FLAIR MRI.
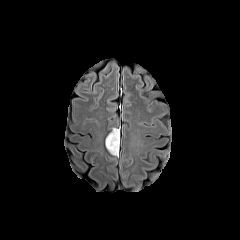
T1-weighted MR image.
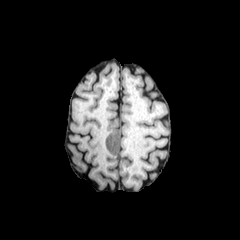
Post-contrast T1-weighted MRI.
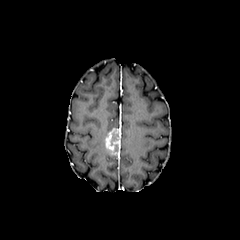
T2-weighted magnetic resonance.
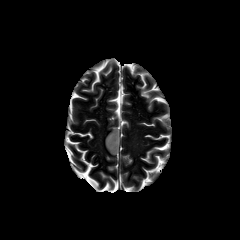
Head, Image size 240x240, Axial plane
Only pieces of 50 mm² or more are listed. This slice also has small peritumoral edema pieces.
necrotic tumor core — (left=109, top=128, right=118, bottom=152)
enhancing tumor — (left=105, top=128, right=120, bottom=155)